FLAIR MR image.
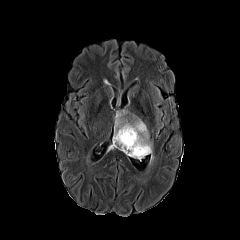
T1-weighted MR.
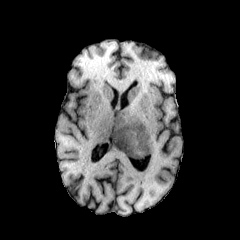
Post-contrast T1-weighted MRI.
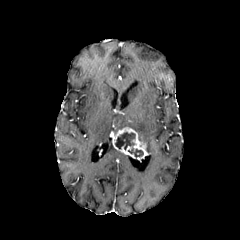
T2-weighted magnetic resonance.
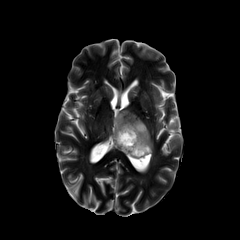
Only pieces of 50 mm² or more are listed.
necrotic tumor core: bounding box x1=128, y1=148, x2=143, y2=157; x1=115, y1=132, x2=135, y2=149
enhancing tumor: bounding box x1=113, y1=127, x2=148, y2=158
peritumoral edema: bounding box x1=114, y1=114, x2=153, y2=158